FLAIR magnetic resonance.
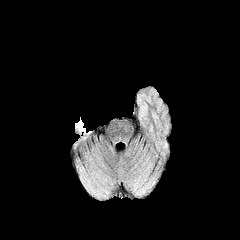
T1-weighted MRI.
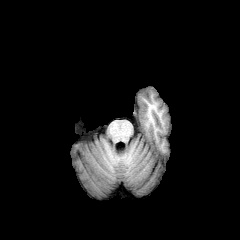
Post-contrast T1-weighted MR image.
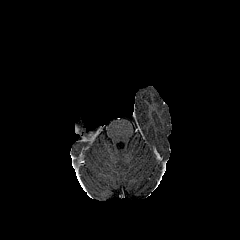
T2-weighted MR image.
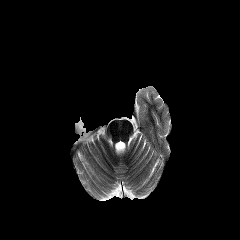
Axial slice, Head
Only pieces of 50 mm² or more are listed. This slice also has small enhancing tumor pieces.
peritumoral edema: bounding box <box>75,119,89,135</box>